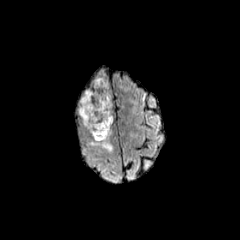
FLAIR magnetic resonance.
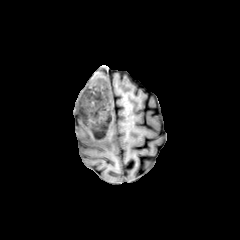
T1-weighted MR.
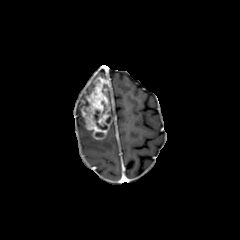
Same slice, post-contrast T1-weighted magnetic resonance.
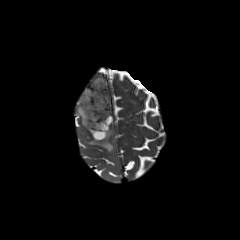
Same slice, T2-weighted MRI.
Head; Axial view; 240x240 px
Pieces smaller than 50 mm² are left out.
The largest necrotic tumor core region appears at box=[93, 110, 107, 129]. The 2 largest peritumoral edema regions are bounded by box=[78, 89, 90, 129]; box=[88, 126, 113, 151]. The enhancing tumor lies within box=[80, 77, 112, 140].